Brain; Slice 67/155; Axial view
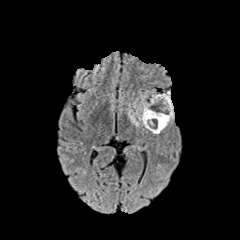
FLAIR MR.
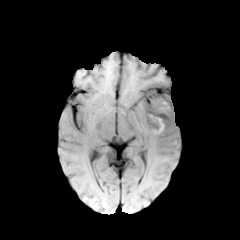
Same slice, T1-weighted magnetic resonance.
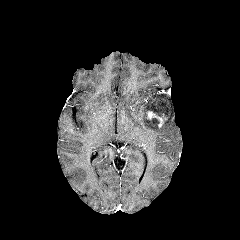
Post-contrast T1-weighted MR of the same slice.
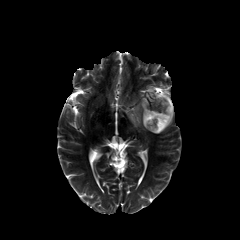
Same slice, T2-weighted MRI.
necrotic_tumor_core:
  - region(148, 95, 167, 123)
  - region(147, 118, 159, 128)
enhancing_tumor:
  - region(147, 111, 166, 127)
peritumoral_edema:
  - region(128, 93, 174, 133)